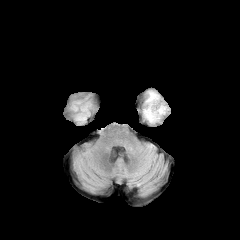
FLAIR MR.
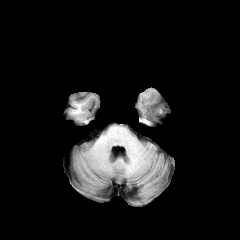
T1-weighted MR of the same slice.
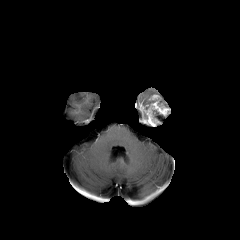
Post-contrast T1-weighted magnetic resonance of the same slice.
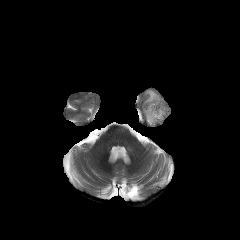
T2-weighted MR image.
Axial view
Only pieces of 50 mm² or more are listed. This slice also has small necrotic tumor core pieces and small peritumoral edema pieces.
The enhancing tumor is bounded by 141 94 170 126.